Head | Image size 240x240
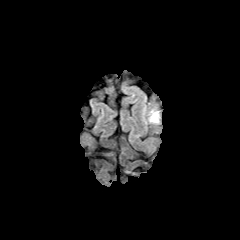
FLAIR MRI.
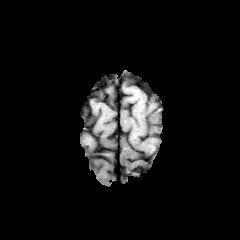
T1-weighted MRI.
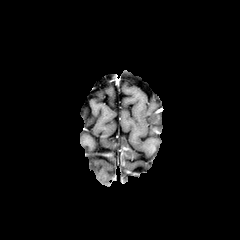
Post-contrast T1-weighted magnetic resonance.
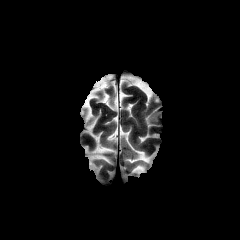
T2-weighted MR.
The peritumoral edema is at left=150, top=111, right=158, bottom=122.